FLAIR MR.
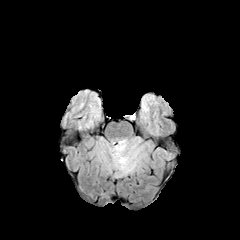
T1-weighted MR.
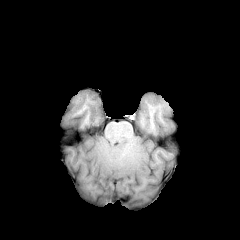
Post-contrast T1-weighted MRI.
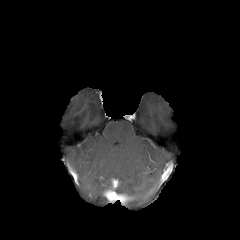
T2-weighted magnetic resonance.
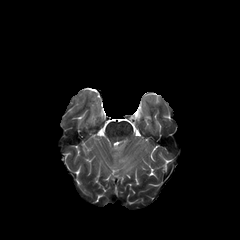
Brain
peritumoral edema: bounding box {"x1": 111, "y1": 139, "x2": 141, "y2": 176}